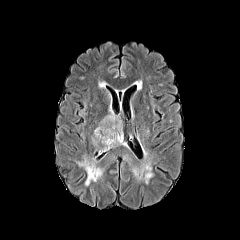
FLAIR MRI.
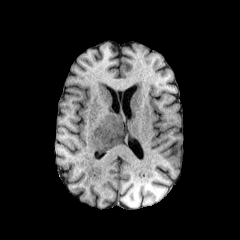
T1-weighted MR image.
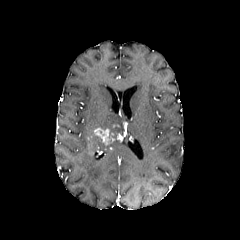
Post-contrast T1-weighted MRI of the same slice.
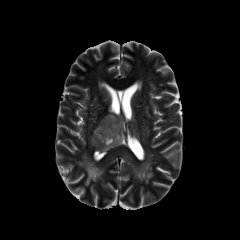
T2-weighted MR of the same slice.
Axial view
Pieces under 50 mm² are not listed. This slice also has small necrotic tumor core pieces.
<segmentation>
  <peritumoral_edema>bbox=[97, 111, 123, 147]; bbox=[92, 134, 109, 152]; bbox=[78, 156, 103, 186]</peritumoral_edema>
  <enhancing_tumor>bbox=[94, 127, 116, 145]</enhancing_tumor>
</segmentation>